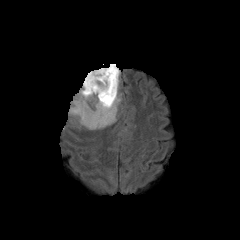
FLAIR MRI.
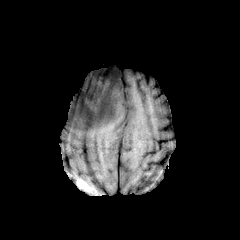
T1-weighted MR.
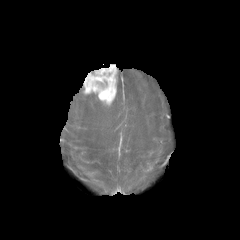
Post-contrast T1-weighted MR image of the same slice.
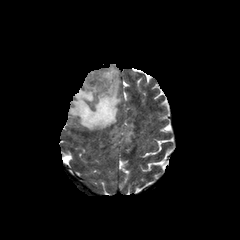
T2-weighted MRI of the same slice.
Brain; Image size 240x240
enhancing tumor: <box>83,64,117,105</box> | peritumoral edema: <box>68,68,121,130</box>